Image width 240 mm
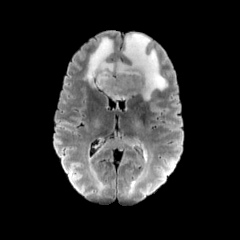
FLAIR MR.
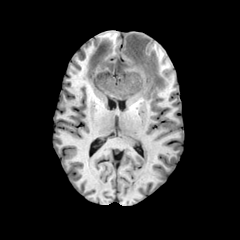
Same slice, T1-weighted MR.
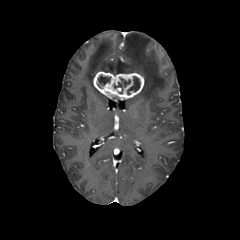
Post-contrast T1-weighted MR image.
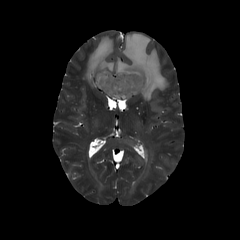
T2-weighted magnetic resonance.
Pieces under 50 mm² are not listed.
enhancing tumor — box(93, 71, 144, 99)
peritumoral edema — box(129, 148, 151, 193); box(85, 33, 169, 120); box(106, 137, 131, 148)
necrotic tumor core — box(114, 78, 130, 93); box(127, 76, 140, 94); box(97, 75, 110, 87)